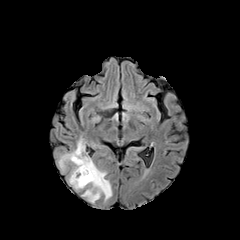
FLAIR MR.
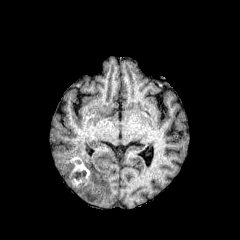
T1-weighted magnetic resonance.
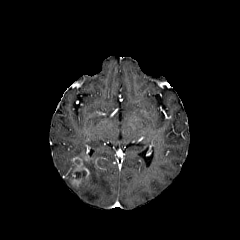
Post-contrast T1-weighted MRI.
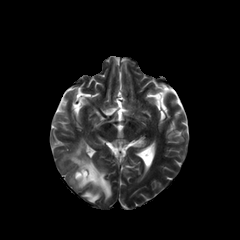
T2-weighted MR image.
Brain
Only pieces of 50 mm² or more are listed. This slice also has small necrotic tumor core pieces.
Annotated regions:
* enhancing tumor: [72, 156, 89, 171]
* peritumoral edema: [59, 138, 84, 169], [69, 158, 111, 202]